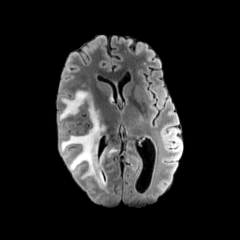
FLAIR MRI.
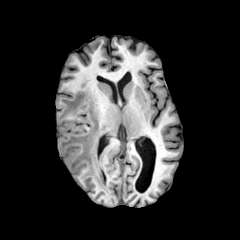
T1-weighted MR image of the same slice.
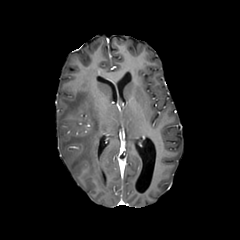
Same slice, post-contrast T1-weighted MR.
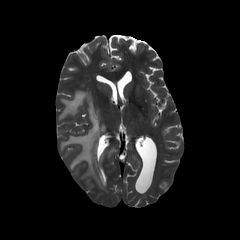
T2-weighted magnetic resonance.
240x240
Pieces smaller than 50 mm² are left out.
The largest peritumoral edema region appears at [59,90,105,187].